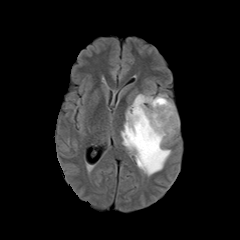
FLAIR MR.
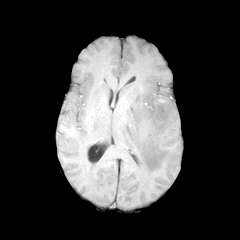
T1-weighted MR image.
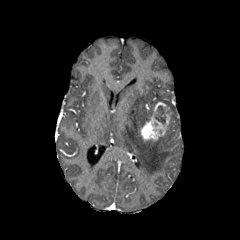
Same slice, post-contrast T1-weighted magnetic resonance.
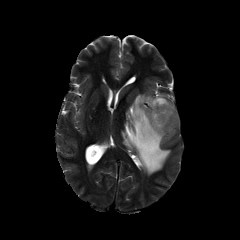
T2-weighted MR.
240x240
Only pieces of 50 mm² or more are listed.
Findings:
• peritumoral edema: {"x1": 121, "y1": 87, "x2": 179, "y2": 175}
• enhancing tumor: {"x1": 140, "y1": 102, "x2": 171, "y2": 140}
• necrotic tumor core: {"x1": 155, "y1": 106, "x2": 165, "y2": 124}